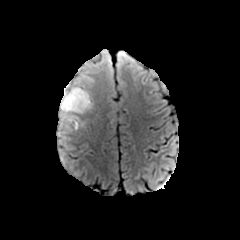
FLAIR MR.
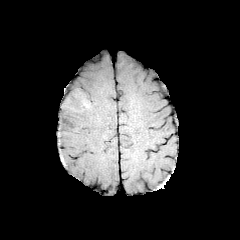
Same slice, T1-weighted magnetic resonance.
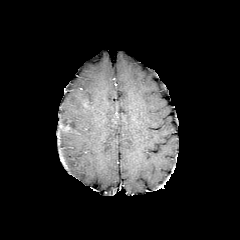
Same slice, post-contrast T1-weighted MR image.
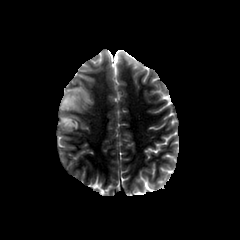
T2-weighted magnetic resonance.
Head
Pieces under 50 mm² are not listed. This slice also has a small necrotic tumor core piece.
The largest enhancing tumor region is at (59, 117, 76, 131). The largest peritumoral edema region lies within (58, 84, 93, 135).